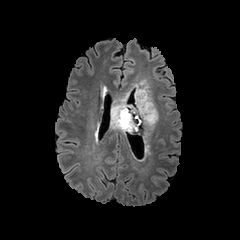
FLAIR MR.
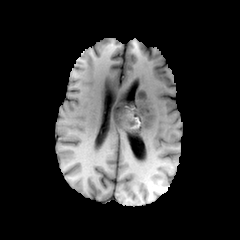
Same slice, T1-weighted magnetic resonance.
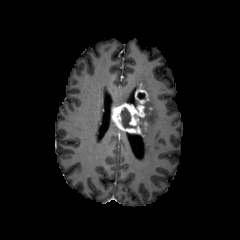
Post-contrast T1-weighted MR image of the same slice.
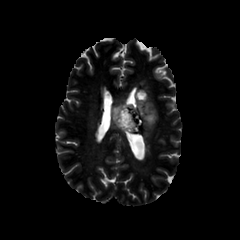
T2-weighted MR.
Brain
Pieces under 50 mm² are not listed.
The largest necrotic tumor core region lies within [122,107,136,128]. The 3 largest peritumoral edema regions are bounded by [126,81,157,136], [113,96,125,107], [111,108,120,129]. The 2 largest enhancing tumor regions are located at [135,84,148,103], [113,103,147,135].